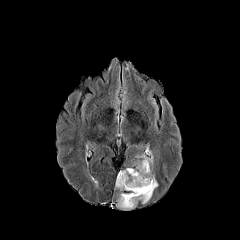
FLAIR MR.
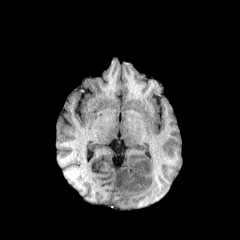
T1-weighted magnetic resonance.
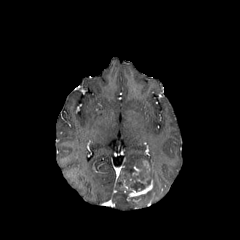
Post-contrast T1-weighted magnetic resonance of the same slice.
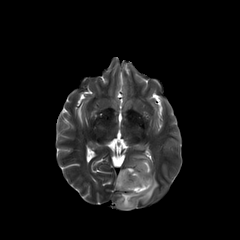
Same slice, T2-weighted MRI.
Brain | 240x240
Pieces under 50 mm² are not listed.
peritumoral edema at 115,151,158,209
necrotic tumor core at 129,179,150,191
enhancing tumor at 137,160,150,183; 119,176,152,197; 132,167,142,175